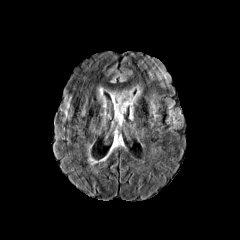
FLAIR MRI.
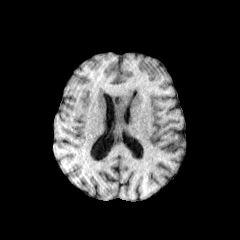
T1-weighted magnetic resonance.
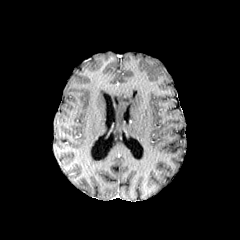
Post-contrast T1-weighted MR.
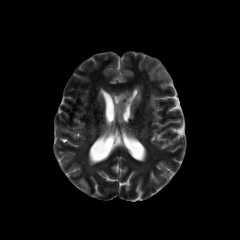
T2-weighted MR image.
Head
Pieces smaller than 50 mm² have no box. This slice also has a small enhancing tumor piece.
3 peritumoral edema regions are bounded by (left=110, top=69, right=132, bottom=82), (left=108, top=85, right=142, bottom=125), (left=98, top=85, right=106, bottom=107).